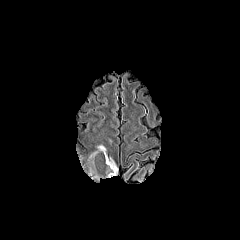
FLAIR MRI.
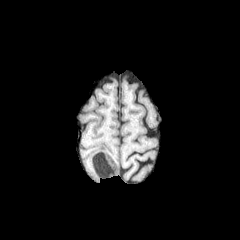
Same slice, T1-weighted magnetic resonance.
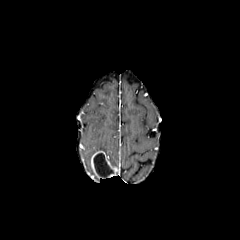
Post-contrast T1-weighted MRI.
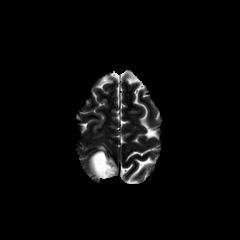
T2-weighted magnetic resonance of the same slice.
240x240 px; Axial view; Head
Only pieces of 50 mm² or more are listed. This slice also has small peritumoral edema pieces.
necrotic tumor core = (94, 153, 113, 178)
enhancing tumor = (90, 151, 117, 179)